Image width 240 mm, 1.00 mm slice spacing. Slice index 108.
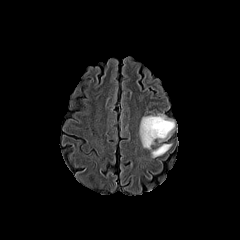
FLAIR MR image.
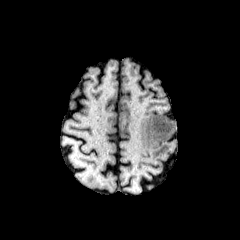
T1-weighted magnetic resonance of the same slice.
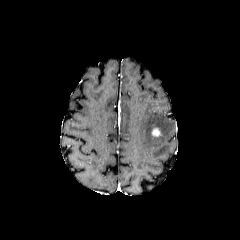
Post-contrast T1-weighted MR image.
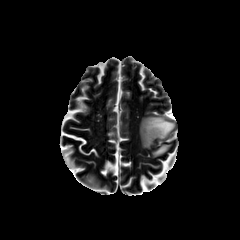
T2-weighted MRI of the same slice.
2 peritumoral edema regions are located at {"x1": 139, "y1": 114, "x2": 174, "y2": 149}, {"x1": 152, "y1": 144, "x2": 171, "y2": 157}. The enhancing tumor is at {"x1": 151, "y1": 128, "x2": 160, "y2": 136}.